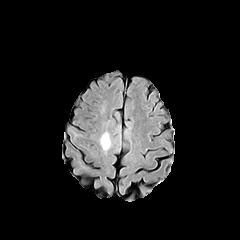
FLAIR MR image.
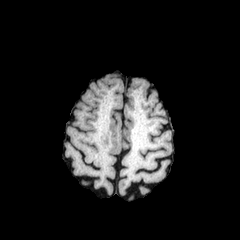
T1-weighted MRI.
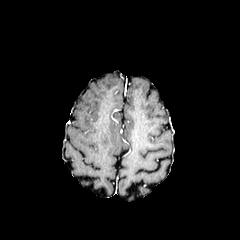
Post-contrast T1-weighted MR of the same slice.
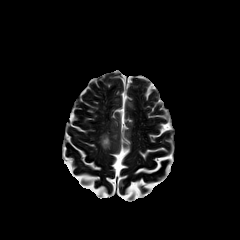
T2-weighted MRI.
Brain; Axial plane
The peritumoral edema lies within 100 132 111 152.